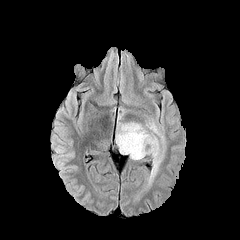
FLAIR MRI.
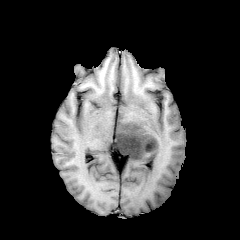
T1-weighted MR.
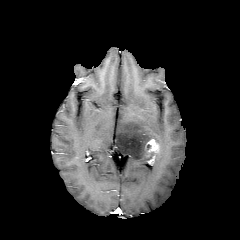
Post-contrast T1-weighted MRI of the same slice.
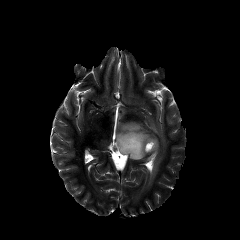
T2-weighted MR image.
Brain. Axial slice.
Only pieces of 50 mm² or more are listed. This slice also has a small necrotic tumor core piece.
enhancing tumor: bounding box [145,139,159,153]
peritumoral edema: bounding box [115,109,165,181]